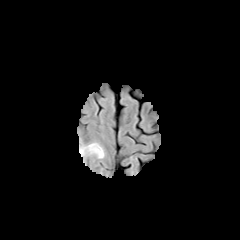
FLAIR MRI.
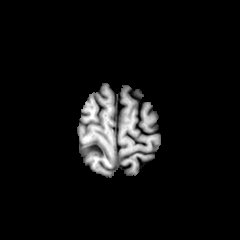
T1-weighted MR.
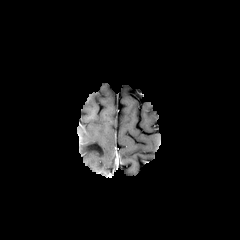
Post-contrast T1-weighted MR image.
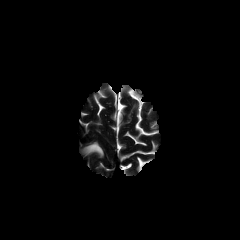
T2-weighted MR of the same slice.
Brain
<segmentation>
  <peritumoral_edema>left=80, top=142, right=104, bottom=158</peritumoral_edema>
</segmentation>